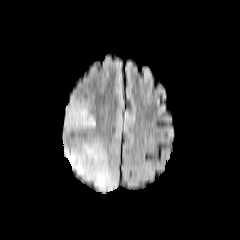
FLAIR MRI.
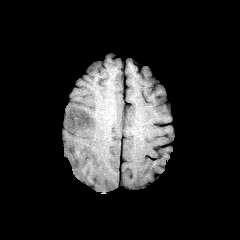
Same slice, T1-weighted MR image.
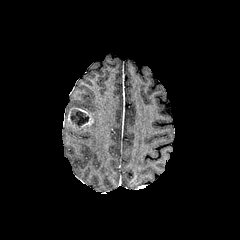
Post-contrast T1-weighted MR.
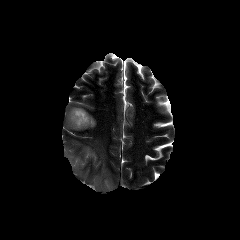
T2-weighted MRI of the same slice.
Axial plane, Head
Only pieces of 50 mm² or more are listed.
necrotic_tumor_core:
  - <box>70,109,88,127</box>
peritumoral_edema:
  - <box>64,101,88,130</box>
  - <box>64,141,116,190</box>
enhancing_tumor:
  - <box>66,107,93,129</box>